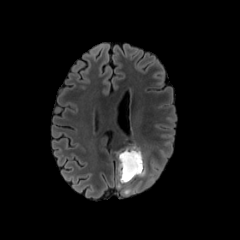
FLAIR magnetic resonance.
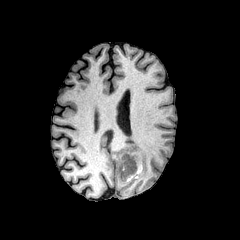
T1-weighted MR of the same slice.
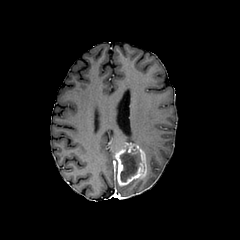
Post-contrast T1-weighted MR image.
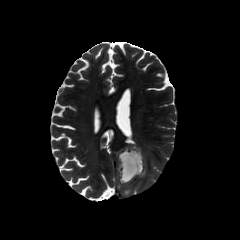
T2-weighted MRI of the same slice.
Axial slice
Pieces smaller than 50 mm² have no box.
enhancing tumor = l=115, t=144, r=147, b=185
necrotic tumor core = l=120, t=151, r=140, b=181
peritumoral edema = l=123, t=187, r=132, b=194